240x240 px | Axial slice | Slice index 66
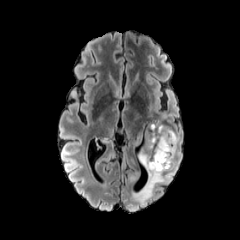
FLAIR magnetic resonance.
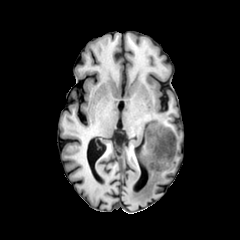
T1-weighted MRI of the same slice.
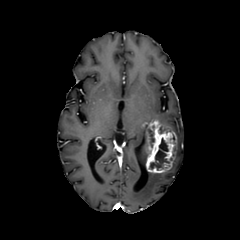
Post-contrast T1-weighted MR of the same slice.
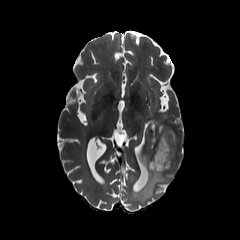
T2-weighted magnetic resonance.
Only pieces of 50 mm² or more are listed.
The 2 largest necrotic tumor core regions are bounded by bbox=[148, 129, 154, 147]; bbox=[150, 138, 169, 169]. The 4 largest peritumoral edema regions are located at bbox=[131, 172, 164, 205]; bbox=[174, 132, 181, 156]; bbox=[137, 133, 147, 166]; bbox=[158, 120, 173, 130]. The enhancing tumor is bounded by bbox=[145, 120, 176, 173].